Image width 240 mm, 1.00 mm slice spacing; Slice 38/155; Head
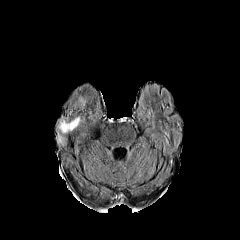
FLAIR MRI.
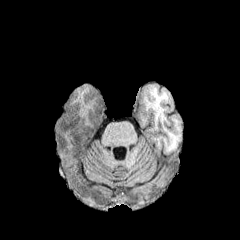
T1-weighted MR image.
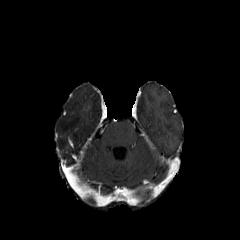
Post-contrast T1-weighted MRI of the same slice.
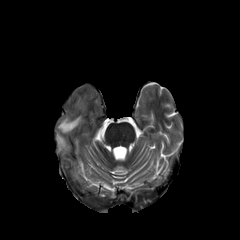
T2-weighted MRI.
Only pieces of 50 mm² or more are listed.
peritumoral_edema:
  - [60, 117, 79, 132]